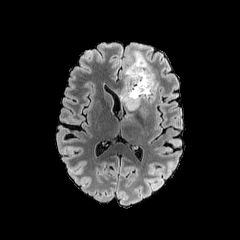
FLAIR MR.
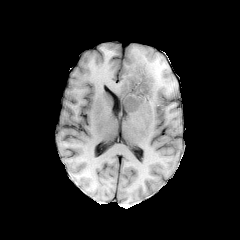
T1-weighted MR of the same slice.
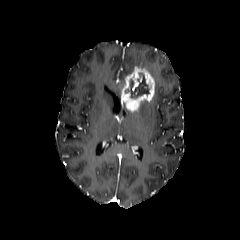
Post-contrast T1-weighted MR.
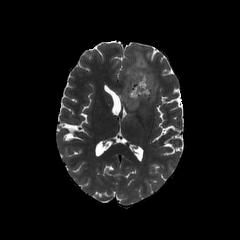
T2-weighted MR image.
Head
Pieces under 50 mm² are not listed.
The largest peritumoral edema region is located at 122:45:158:103. The largest enhancing tumor region appears at 121:66:154:111. The necrotic tumor core lies within 130:73:149:97.